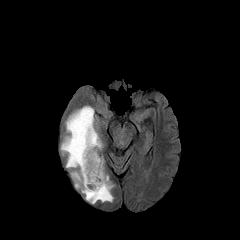
FLAIR MR.
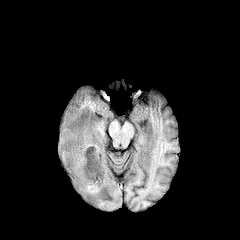
Same slice, T1-weighted MR image.
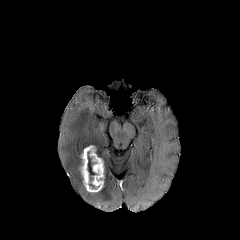
Post-contrast T1-weighted MRI.
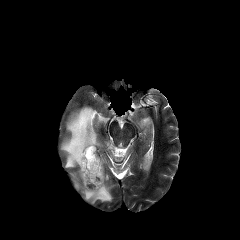
Same slice, T2-weighted magnetic resonance.
Image size 240x240. Axial slice.
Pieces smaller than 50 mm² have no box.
The largest necrotic tumor core region is at {"x1": 88, "y1": 156, "x2": 95, "y2": 175}. The largest peritumoral edema region is at {"x1": 60, "y1": 105, "x2": 113, "y2": 203}. The enhancing tumor is bounded by {"x1": 80, "y1": 145, "x2": 104, "y2": 192}.